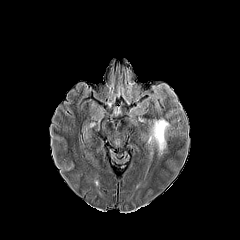
FLAIR magnetic resonance.
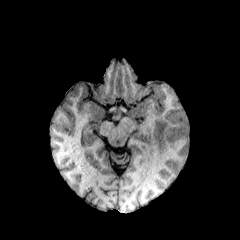
T1-weighted MR.
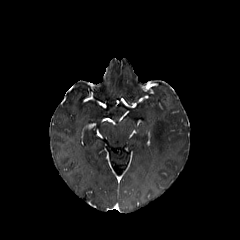
Post-contrast T1-weighted magnetic resonance.
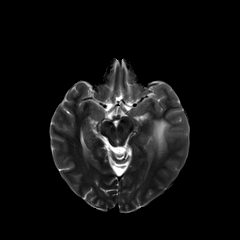
T2-weighted MR of the same slice.
Head.
The peritumoral edema appears at rect(151, 119, 169, 154).